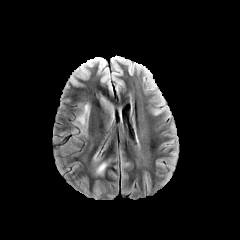
FLAIR MRI.
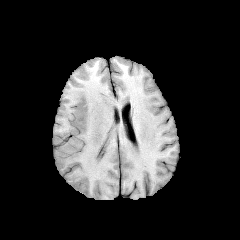
Same slice, T1-weighted MR image.
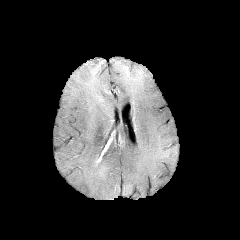
Post-contrast T1-weighted magnetic resonance of the same slice.
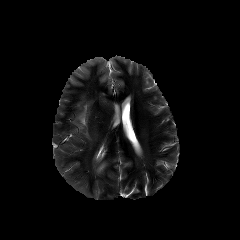
T2-weighted MR.
Axial plane. 240x240 px.
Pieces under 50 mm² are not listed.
peritumoral_edema:
  - 96,162,106,173
  - 75,103,89,136